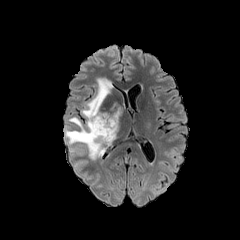
FLAIR MR image.
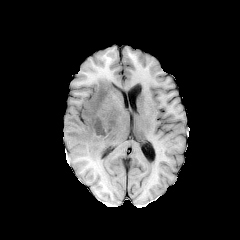
T1-weighted magnetic resonance.
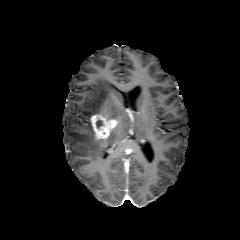
Post-contrast T1-weighted MRI.
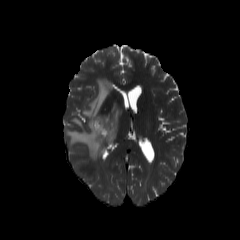
Same slice, T2-weighted MR.
Brain | Axial slice
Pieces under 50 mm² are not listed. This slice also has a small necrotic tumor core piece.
Annotated regions:
- enhancing tumor: [x1=90, y1=113, x2=118, y2=140]
- peritumoral edema: [x1=65, y1=78, x2=120, y2=160]